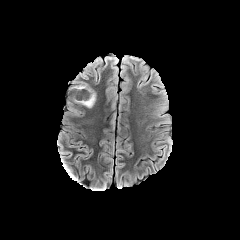
FLAIR magnetic resonance.
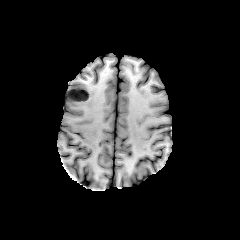
T1-weighted MRI of the same slice.
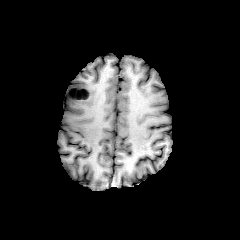
Post-contrast T1-weighted magnetic resonance.
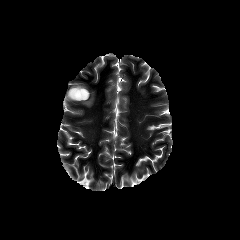
T2-weighted MR image.
Axial view, Brain
necrotic tumor core at bbox(69, 88, 88, 99)
enhancing tumor at bbox(68, 87, 90, 100)
peritumoral edema at bbox(71, 82, 87, 87); bbox(72, 92, 95, 107)